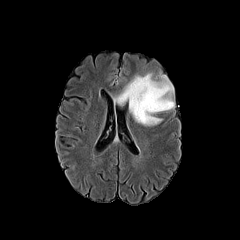
FLAIR magnetic resonance.
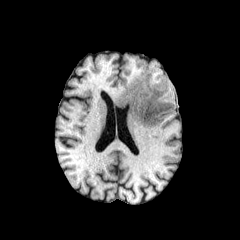
Same slice, T1-weighted MRI.
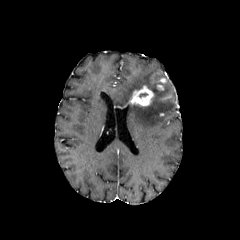
Same slice, post-contrast T1-weighted MRI.
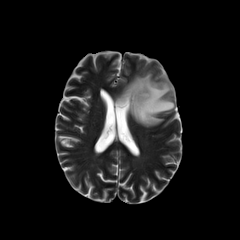
Same slice, T2-weighted magnetic resonance.
Head
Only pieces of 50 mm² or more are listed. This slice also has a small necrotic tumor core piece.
peritumoral edema: <bbox>116, 73, 174, 126</bbox> | enhancing tumor: <bbox>129, 85, 153, 106</bbox>